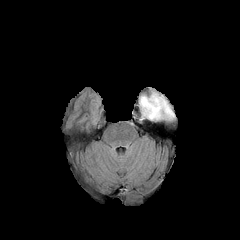
FLAIR MR.
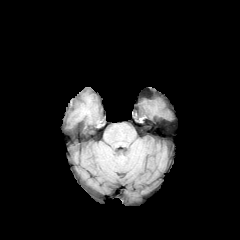
T1-weighted magnetic resonance of the same slice.
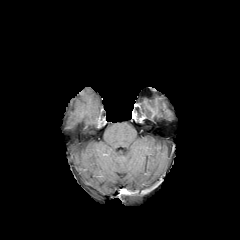
Post-contrast T1-weighted MR image of the same slice.
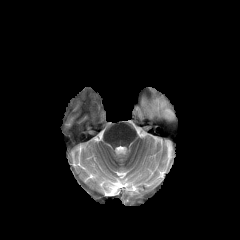
T2-weighted MR image.
Axial slice; Image size 240x240
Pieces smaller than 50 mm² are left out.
<segmentation>
  <peritumoral_edema>x1=139 y1=91 x2=175 y2=120</peritumoral_edema>
  <enhancing_tumor>x1=145 y1=102 x2=157 y2=117</enhancing_tumor>
</segmentation>